FLAIR MR image.
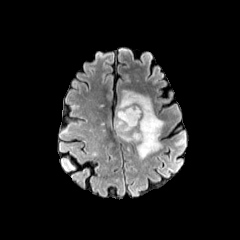
T1-weighted MR image.
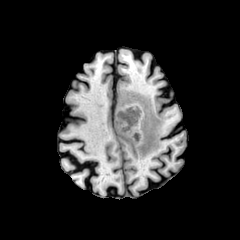
Post-contrast T1-weighted MRI.
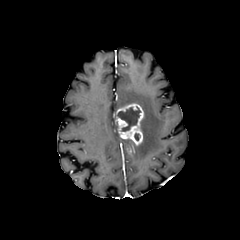
T2-weighted MRI.
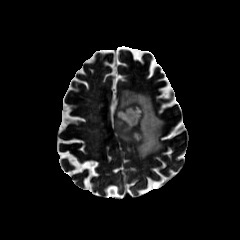
240x240 px, Axial slice
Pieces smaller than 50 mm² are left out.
enhancing tumor — box=[115, 104, 143, 145]
peritumoral edema — box=[117, 91, 163, 158]
necrotic tumor core — box=[118, 107, 140, 131]